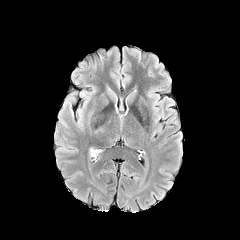
FLAIR magnetic resonance.
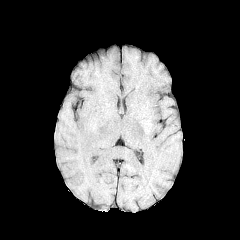
Same slice, T1-weighted MRI.
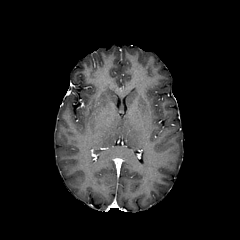
Post-contrast T1-weighted MRI of the same slice.
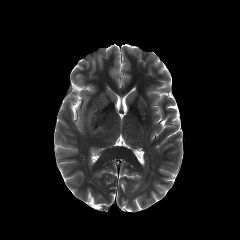
Same slice, T2-weighted magnetic resonance.
Axial plane
peritumoral edema: (left=90, top=149, right=101, bottom=154)